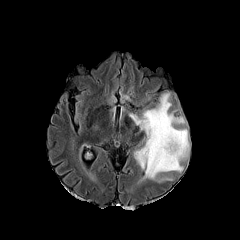
FLAIR magnetic resonance.
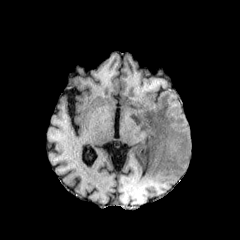
T1-weighted MR of the same slice.
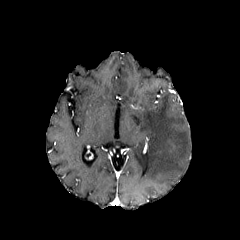
Same slice, post-contrast T1-weighted magnetic resonance.
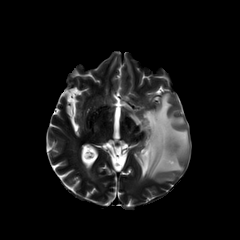
T2-weighted MR image.
Axial view. Image size 240x240. Brain.
The peritumoral edema is at (128,92,189,182).